FLAIR MRI.
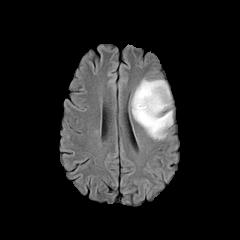
T1-weighted MR.
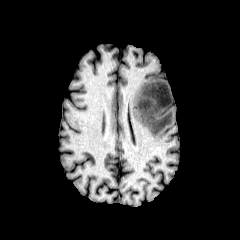
Post-contrast T1-weighted MRI.
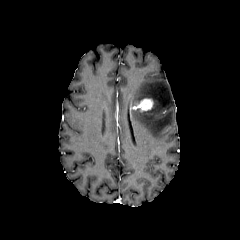
T2-weighted MR.
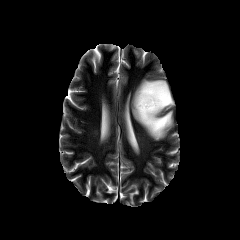
Axial slice
enhancing_tumor:
  - <bbox>133, 98, 153, 111</bbox>
peritumoral_edema:
  - <bbox>131, 79, 172, 139</bbox>